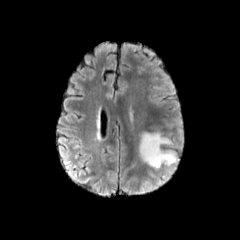
FLAIR MRI.
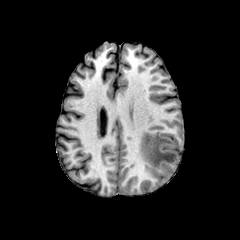
Same slice, T1-weighted MRI.
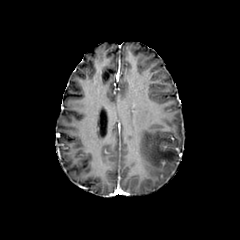
Post-contrast T1-weighted magnetic resonance.
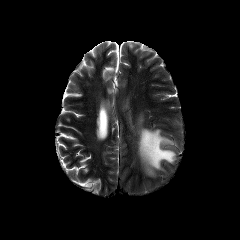
T2-weighted MR image.
Brain | 240x240 px
peritumoral_edema:
  - 139, 132, 176, 168